FLAIR magnetic resonance.
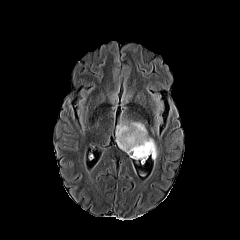
T1-weighted magnetic resonance.
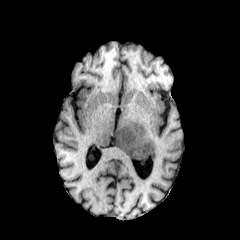
Post-contrast T1-weighted MRI.
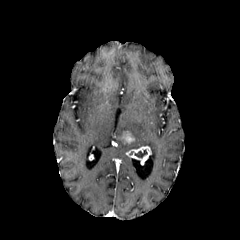
T2-weighted MRI.
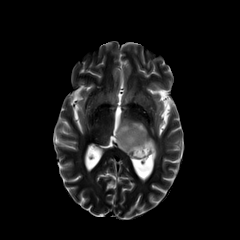
Image size 240x240. Head. Axial slice.
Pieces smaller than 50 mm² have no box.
Annotated regions:
• necrotic tumor core: [x1=135, y1=150, x2=147, y2=157]
• enhancing tumor: [x1=126, y1=146, x2=151, y2=160], [x1=120, y1=131, x2=134, y2=144]
• peritumoral edema: [x1=116, y1=120, x2=157, y2=159]